FLAIR MR image.
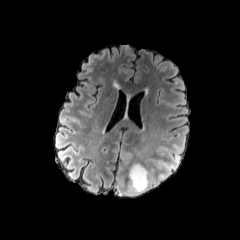
T1-weighted magnetic resonance.
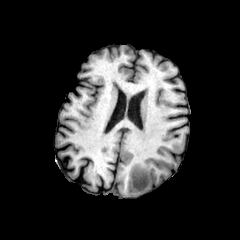
Post-contrast T1-weighted magnetic resonance.
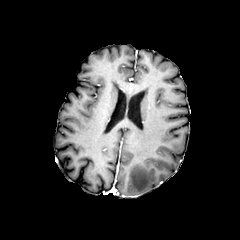
T2-weighted MRI.
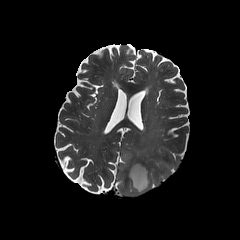
Axial plane
The peritumoral edema lies within (128,163,149,194).